Brain, Axial view
FLAIR magnetic resonance.
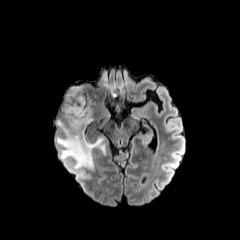
T1-weighted MR image.
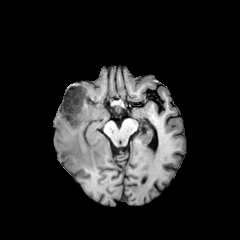
Post-contrast T1-weighted MRI.
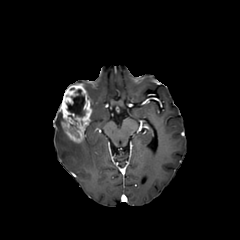
T2-weighted MR image.
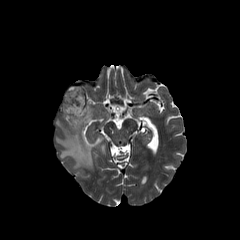
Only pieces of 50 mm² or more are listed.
Segmented structures:
- peritumoral edema: [x1=56, y1=134, x2=104, y2=169]
- necrotic tumor core: [x1=67, y1=89, x2=84, y2=116]
- enhancing tumor: [x1=59, y1=84, x2=92, y2=142]